Image size 240x240. Head.
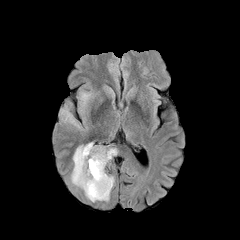
FLAIR magnetic resonance.
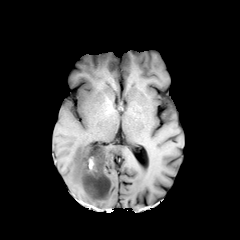
T1-weighted MRI.
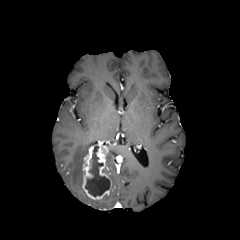
Post-contrast T1-weighted magnetic resonance.
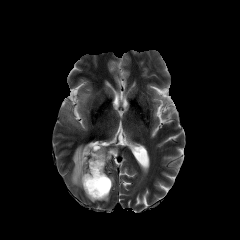
T2-weighted MR.
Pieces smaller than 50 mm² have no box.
The 5 largest peritumoral edema regions appear at x1=62 y1=108 x2=79 y2=128, x1=106 y1=148 x2=117 y2=164, x1=71 y1=142 x2=93 y2=189, x1=81 y1=93 x2=90 y2=105, x1=85 y1=193 x2=109 y2=202. The necrotic tumor core is located at x1=85 y1=146 x2=110 y2=196. The enhancing tumor is bounded by x1=82 y1=144 x2=111 y2=199.